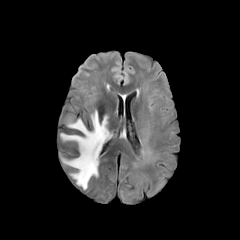
FLAIR MR image.
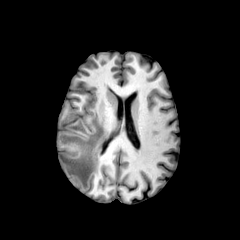
T1-weighted MRI.
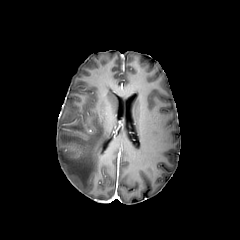
Post-contrast T1-weighted magnetic resonance.
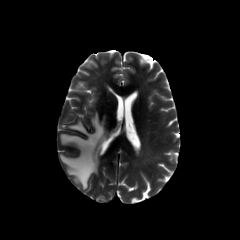
T2-weighted MR image.
Axial slice | 240x240 px
The peritumoral edema lies within [60,111,110,189].